FLAIR MR.
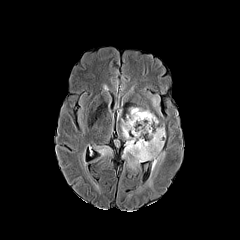
T1-weighted MR.
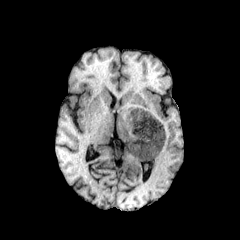
Post-contrast T1-weighted magnetic resonance.
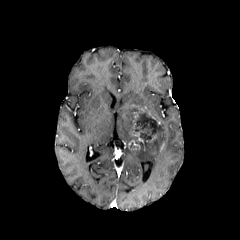
T2-weighted MRI.
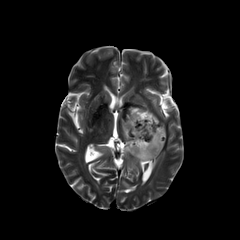
Axial view; Head
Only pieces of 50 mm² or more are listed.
Segmented structures:
- enhancing tumor: (left=132, top=130, right=143, bottom=143)
- peritumoral edema: (left=121, top=107, right=165, bottom=190), (left=91, top=144, right=113, bottom=158), (left=87, top=175, right=100, bottom=193)
- necrotic tumor core: (left=134, top=111, right=162, bottom=147)